Axial slice.
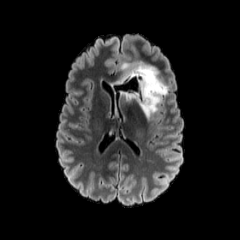
FLAIR magnetic resonance.
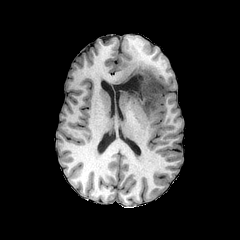
Same slice, T1-weighted MR image.
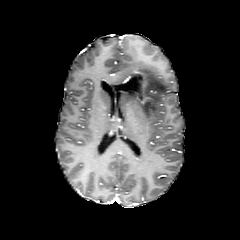
Post-contrast T1-weighted magnetic resonance.
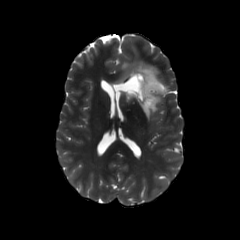
T2-weighted MR of the same slice.
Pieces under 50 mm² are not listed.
Findings:
- peritumoral edema: (114, 61, 168, 119)
- enhancing tumor: (132, 70, 147, 87)
- necrotic tumor core: (113, 77, 138, 92)